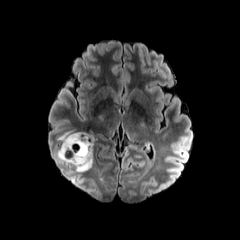
FLAIR MRI.
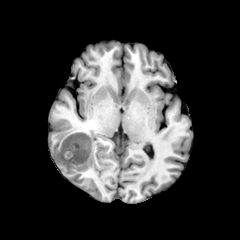
T1-weighted MR image.
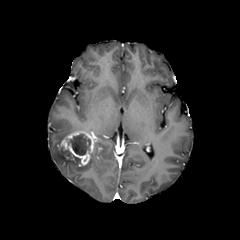
Post-contrast T1-weighted magnetic resonance of the same slice.
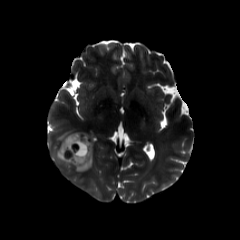
T2-weighted MRI.
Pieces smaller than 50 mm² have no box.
peritumoral edema = left=55, top=145, right=92, bottom=171; left=58, top=131, right=73, bottom=141
necrotic tumor core = left=69, top=134, right=90, bottom=155
enhancing tumor = left=61, top=131, right=94, bottom=165